FLAIR MR image.
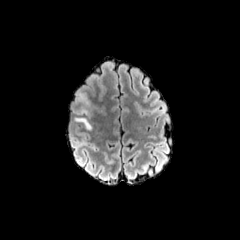
T1-weighted MR image.
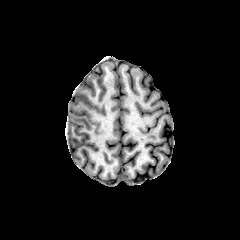
Post-contrast T1-weighted magnetic resonance.
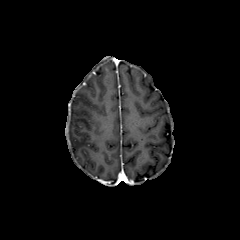
T2-weighted MR.
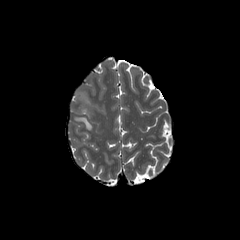
peritumoral edema: bbox(73, 117, 91, 129); bbox(75, 107, 90, 114); bbox(76, 90, 89, 106)